FLAIR MR.
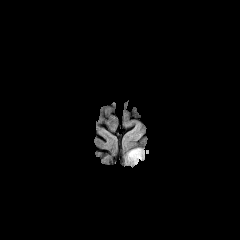
T1-weighted MR.
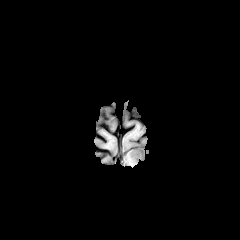
Post-contrast T1-weighted magnetic resonance.
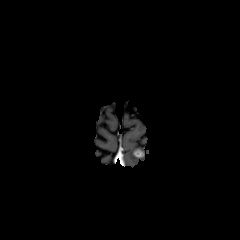
T2-weighted magnetic resonance.
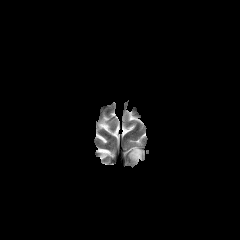
Axial slice; 240x240
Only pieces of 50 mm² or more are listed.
peritumoral edema at (125, 150, 138, 166)
enhancing tumor at (133, 149, 144, 158)